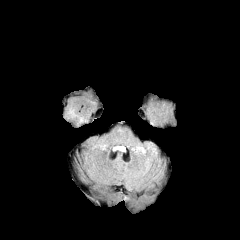
FLAIR MR image.
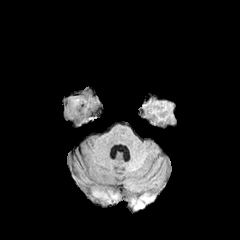
T1-weighted magnetic resonance.
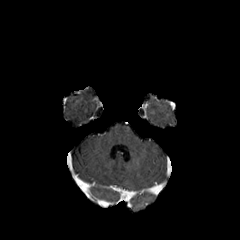
Post-contrast T1-weighted MRI of the same slice.
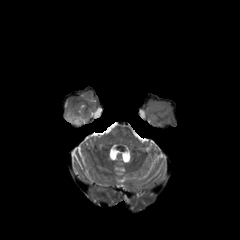
T2-weighted MR image.
Axial slice. Brain.
peritumoral edema — (63,107,87,125)